Image width 240 mm | Slice 117 of 155
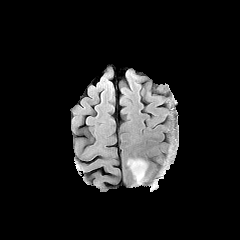
FLAIR magnetic resonance.
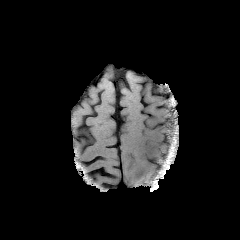
T1-weighted magnetic resonance of the same slice.
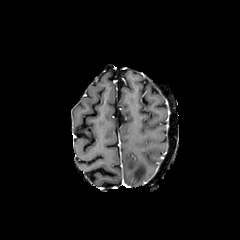
Same slice, post-contrast T1-weighted MR.
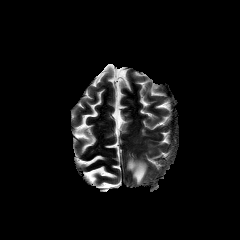
T2-weighted MR.
peritumoral edema: <bbox>127, 159, 146, 184</bbox>